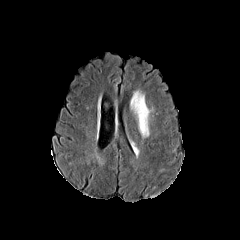
FLAIR MR image.
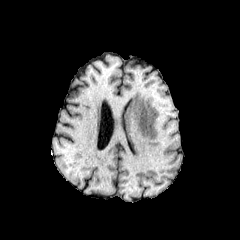
T1-weighted magnetic resonance of the same slice.
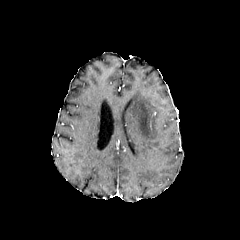
Post-contrast T1-weighted MR image of the same slice.
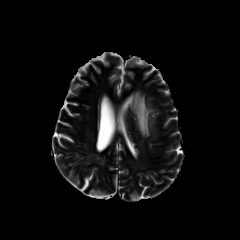
T2-weighted magnetic resonance.
<segmentation>
  <peritumoral_edema>region(130, 90, 151, 137)</peritumoral_edema>
</segmentation>